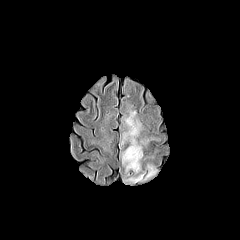
FLAIR magnetic resonance.
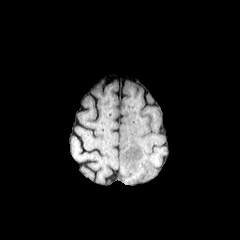
Same slice, T1-weighted MRI.
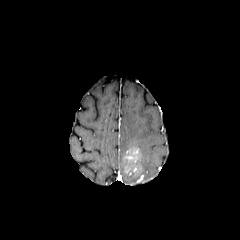
Post-contrast T1-weighted MR.
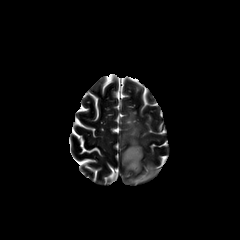
T2-weighted MRI.
Head | Axial plane
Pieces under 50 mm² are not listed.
Findings:
* enhancing tumor: 123 146 143 178
* peritumoral edema: 121 109 142 156, 139 136 161 147, 140 163 157 182, 126 175 141 184